Slice index 43. Axial plane. Head. 240x240 px.
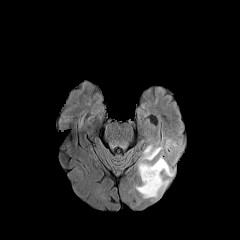
FLAIR MR.
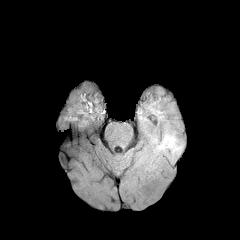
T1-weighted magnetic resonance.
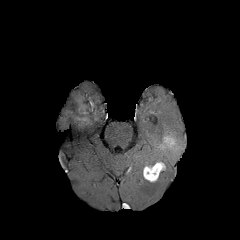
Post-contrast T1-weighted MR image.
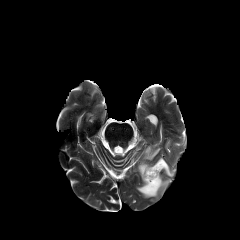
T2-weighted MR image.
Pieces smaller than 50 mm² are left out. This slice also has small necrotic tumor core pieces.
The enhancing tumor is at x1=143 y1=161 x2=165 y2=182. The peritumoral edema lies within x1=135 y1=145 x2=175 y2=198.